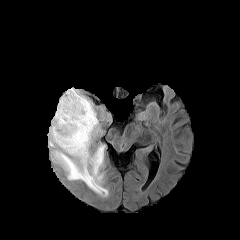
FLAIR MR image.
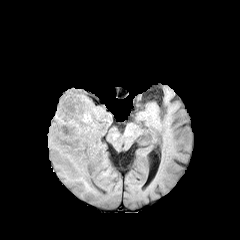
T1-weighted magnetic resonance of the same slice.
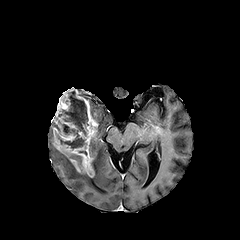
Post-contrast T1-weighted MR image.
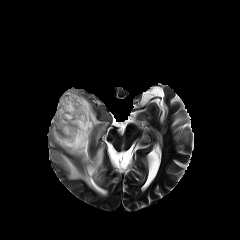
T2-weighted MR of the same slice.
Brain.
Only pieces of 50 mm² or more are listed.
necrotic tumor core: {"x1": 58, "y1": 91, "x2": 88, "y2": 148} | enhancing tumor: {"x1": 52, "y1": 88, "x2": 98, "y2": 177} | peritumoral edema: {"x1": 89, "y1": 100, "x2": 101, "y2": 137}, {"x1": 49, "y1": 127, "x2": 108, "y2": 196}